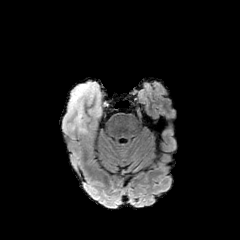
FLAIR MR.
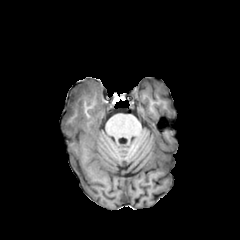
T1-weighted MR.
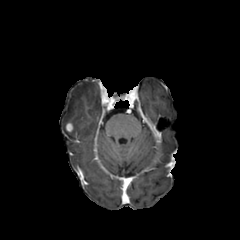
Post-contrast T1-weighted MRI.
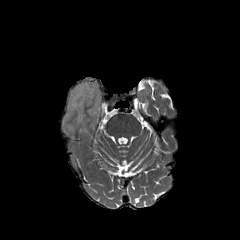
T2-weighted MRI.
Head.
<segmentation>
  <peritumoral_edema>(62, 79, 102, 139)</peritumoral_edema>
  <enhancing_tumor>(66, 123, 72, 131)</enhancing_tumor>
</segmentation>